Brain. Axial view.
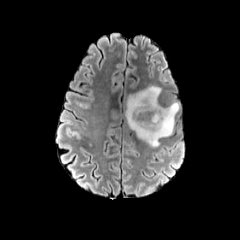
FLAIR magnetic resonance.
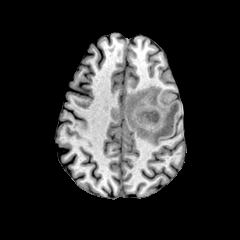
T1-weighted MRI of the same slice.
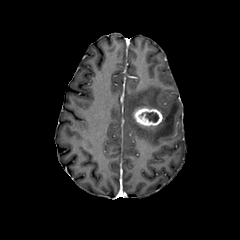
Post-contrast T1-weighted MRI of the same slice.
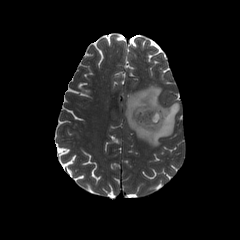
T2-weighted MR of the same slice.
The peritumoral edema is at x1=125, y1=85, x2=179, y2=147. The enhancing tumor lies within x1=133, y1=107, x2=162, y2=126. The necrotic tumor core is at x1=141, y1=112, x2=158, y2=122.